FLAIR magnetic resonance.
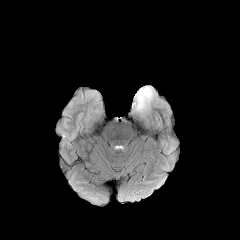
T1-weighted MR.
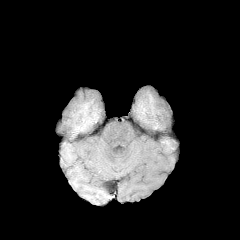
Post-contrast T1-weighted MR image.
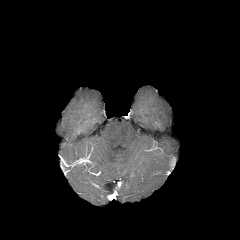
T2-weighted magnetic resonance.
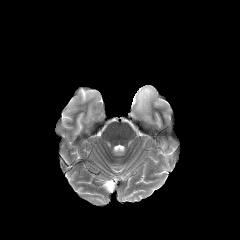
Head
Findings:
- peritumoral edema: 132,86,159,114